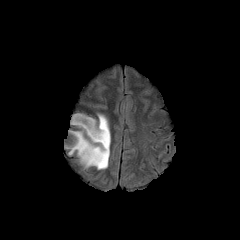
FLAIR magnetic resonance.
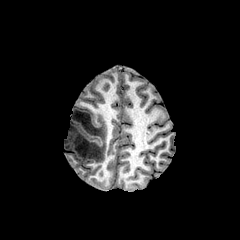
T1-weighted magnetic resonance of the same slice.
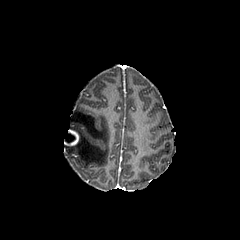
Same slice, post-contrast T1-weighted magnetic resonance.
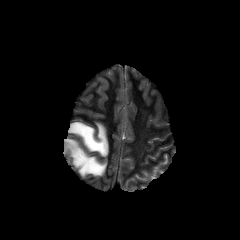
T2-weighted MR.
Image size 240x240; Axial view
The peritumoral edema appears at x1=65 y1=114 x2=110 y2=172. The necrotic tumor core appears at x1=66 y1=132 x2=75 y2=143. The enhancing tumor lies within x1=66 y1=130 x2=79 y2=145.